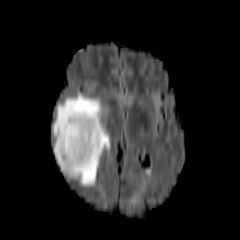
FLAIR MRI.
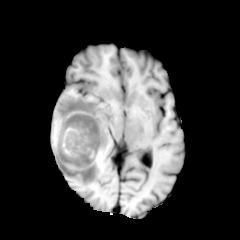
T1-weighted MRI.
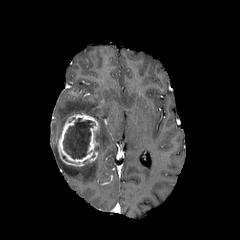
Post-contrast T1-weighted MR image.
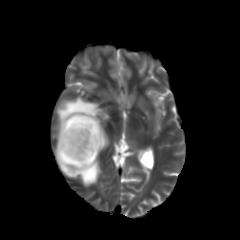
Same slice, T2-weighted magnetic resonance.
Image size 240x240 | Axial view
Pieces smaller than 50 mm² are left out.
peritumoral edema = {"x1": 52, "y1": 92, "x2": 110, "y2": 186}
enhancing tumor = {"x1": 58, "y1": 112, "x2": 99, "y2": 166}
necrotic tumor core = {"x1": 63, "y1": 118, "x2": 93, "y2": 159}